240x240
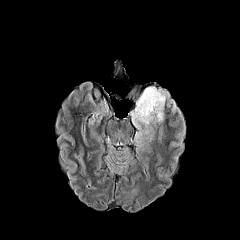
FLAIR MR.
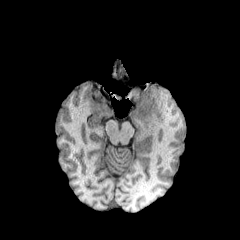
Same slice, T1-weighted magnetic resonance.
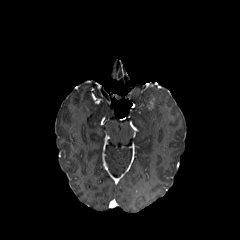
Same slice, post-contrast T1-weighted MRI.
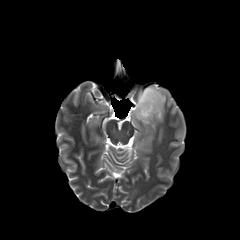
T2-weighted magnetic resonance of the same slice.
enhancing_tumor:
  - [147,98,154,109]
peritumoral_edema:
  - [132,87,168,141]